Slice 131/155, 240x240 px, Brain, Axial plane
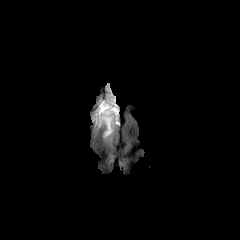
FLAIR magnetic resonance.
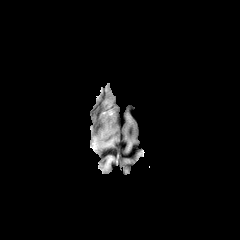
T1-weighted MR of the same slice.
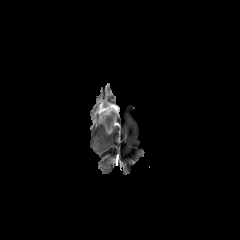
Post-contrast T1-weighted MR.
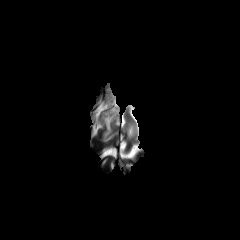
Same slice, T2-weighted MR.
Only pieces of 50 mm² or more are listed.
Annotated regions:
• necrotic tumor core: x1=105, y1=112, x2=114, y2=128
• enhancing tumor: x1=92, y1=91, x2=119, y2=133
• peritumoral edema: x1=103, y1=127, x2=115, y2=139